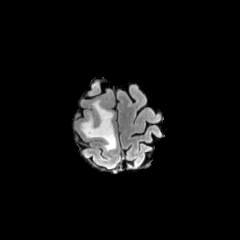
FLAIR magnetic resonance.
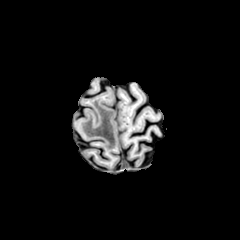
Same slice, T1-weighted MRI.
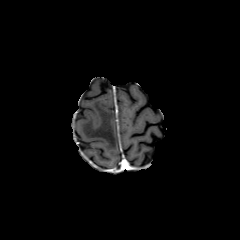
Post-contrast T1-weighted magnetic resonance.
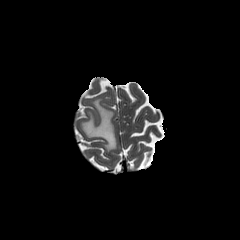
T2-weighted MR.
Image size 240x240, Head
{
  "peritumoral_edema": [
    "<bbox>80, 99, 116, 151</bbox>"
  ]
}